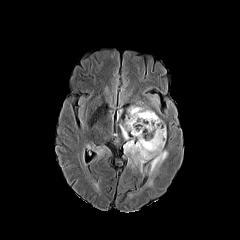
FLAIR magnetic resonance.
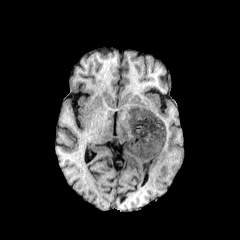
Same slice, T1-weighted magnetic resonance.
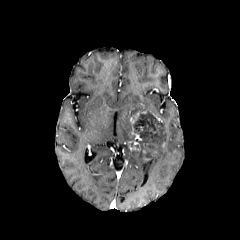
Post-contrast T1-weighted magnetic resonance of the same slice.
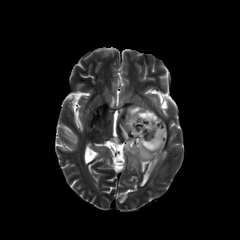
T2-weighted MR image of the same slice.
Axial slice, Head
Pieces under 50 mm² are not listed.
Findings:
* necrotic tumor core: [x1=130, y1=111, x2=163, y2=151]
* peritumoral edema: [x1=119, y1=105, x2=150, y2=140], [x1=92, y1=145, x2=111, y2=161], [x1=124, y1=141, x2=168, y2=188], [x1=87, y1=177, x2=101, y2=195], [x1=162, y1=124, x2=166, y2=142]
* enhancing tumor: [x1=130, y1=111, x2=146, y2=140], [x1=128, y1=141, x2=140, y2=150]